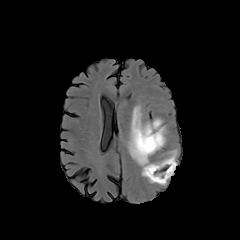
FLAIR magnetic resonance.
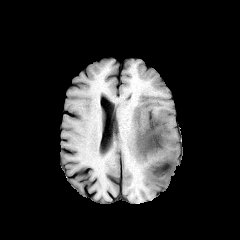
T1-weighted MRI of the same slice.
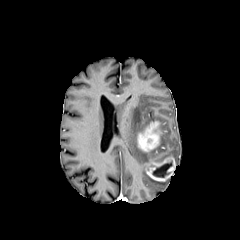
Post-contrast T1-weighted magnetic resonance of the same slice.
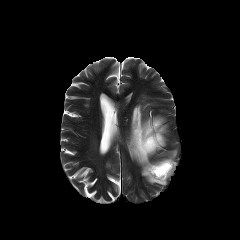
T2-weighted magnetic resonance.
Axial view; 240x240 px
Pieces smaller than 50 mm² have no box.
enhancing tumor: bounding box left=146, top=157, right=175, bottom=181; left=137, top=121, right=161, bottom=152
peritumoral edema: bounding box left=127, top=105, right=167, bottom=185; left=162, top=149, right=177, bottom=160
necrotic tumor core: bounding box left=153, top=161, right=172, bottom=177